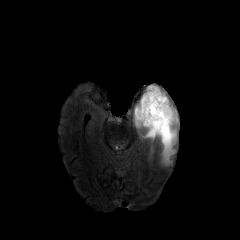
FLAIR MR.
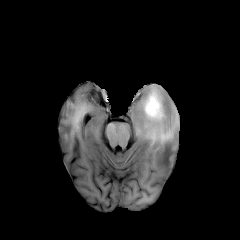
T1-weighted MR of the same slice.
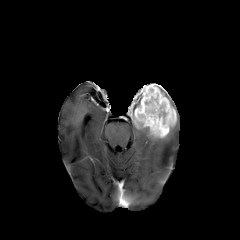
Post-contrast T1-weighted magnetic resonance.
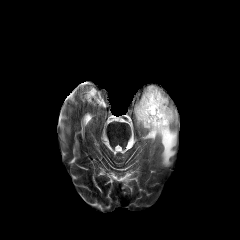
T2-weighted MR image.
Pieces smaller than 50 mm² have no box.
peritumoral_edema:
  - [137, 112, 179, 166]
enhancing_tumor:
  - [133, 84, 176, 137]